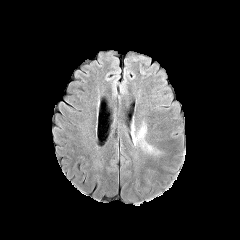
FLAIR MRI.
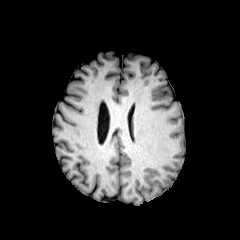
T1-weighted MR of the same slice.
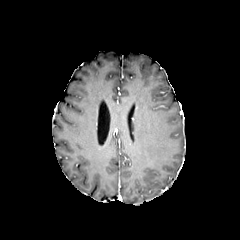
Same slice, post-contrast T1-weighted magnetic resonance.
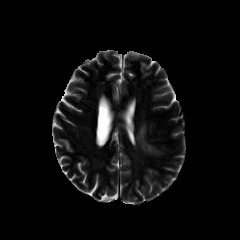
T2-weighted MR image.
Image size 240x240; Head; Axial view
peritumoral_edema:
  - bbox=[134, 126, 145, 143]
  - bbox=[142, 143, 153, 152]